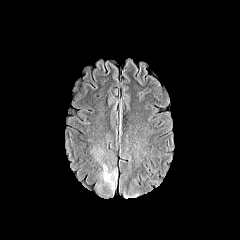
FLAIR MR image.
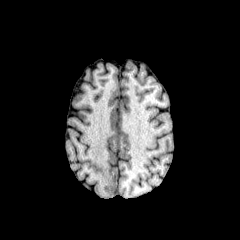
T1-weighted MR.
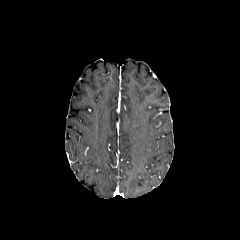
Post-contrast T1-weighted MR.
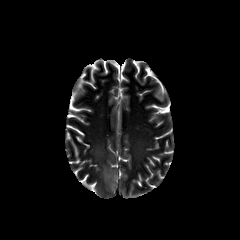
T2-weighted MRI of the same slice.
Brain
Annotated regions:
• peritumoral edema: box=[89, 145, 117, 191]